Axial slice | Image size 240x240 | Brain
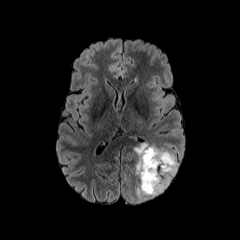
FLAIR MR image.
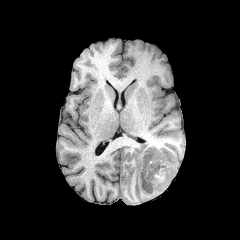
Same slice, T1-weighted MRI.
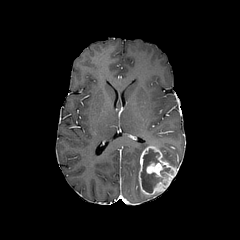
Post-contrast T1-weighted magnetic resonance.
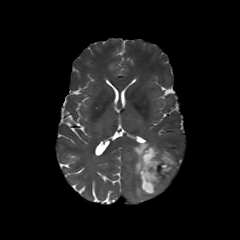
T2-weighted MR of the same slice.
{
  "enhancing_tumor": [
    "region(138, 146, 177, 194)",
    "region(146, 163, 163, 176)"
  ],
  "necrotic_tumor_core": [
    "region(141, 148, 172, 193)"
  ],
  "peritumoral_edema": [
    "region(134, 142, 161, 199)",
    "region(159, 149, 178, 168)"
  ]
}